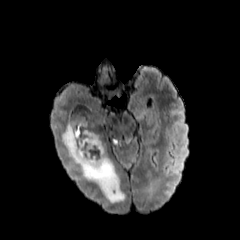
FLAIR MRI.
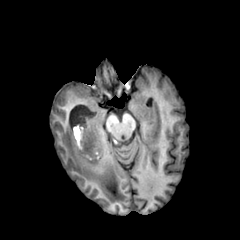
T1-weighted MRI.
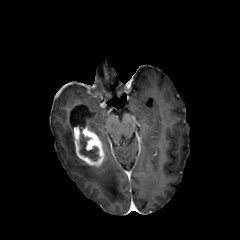
Post-contrast T1-weighted MR image.
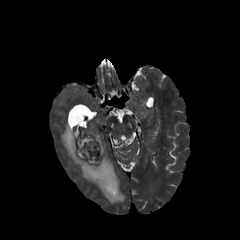
T2-weighted MRI.
240x240 px.
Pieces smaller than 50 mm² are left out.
necrotic tumor core: (80, 129, 98, 160) | enhancing tumor: (73, 125, 104, 166) | peritumoral edema: (62, 123, 125, 203)